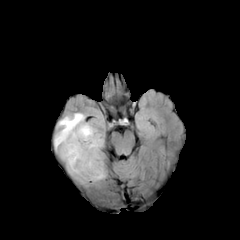
FLAIR MRI.
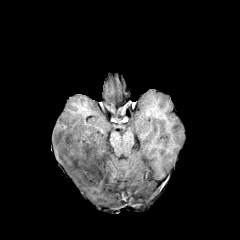
T1-weighted MR image of the same slice.
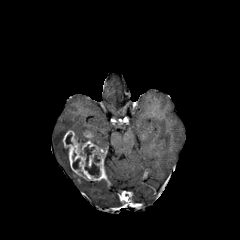
Post-contrast T1-weighted MR.
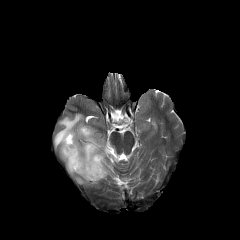
T2-weighted magnetic resonance of the same slice.
Head
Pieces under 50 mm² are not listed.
necrotic tumor core: bbox(65, 134, 72, 144); bbox(84, 145, 99, 177); bbox(73, 159, 79, 169)
peritumoral edema: bbox(54, 113, 104, 185)
enhancing tumor: bbox(62, 130, 106, 181)